Image covers 240 mm x 240 mm | Brain
FLAIR magnetic resonance.
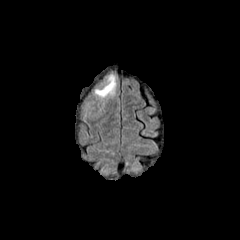
T1-weighted magnetic resonance.
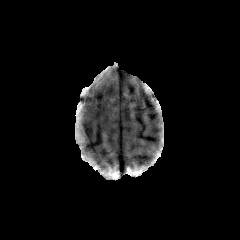
Post-contrast T1-weighted MRI.
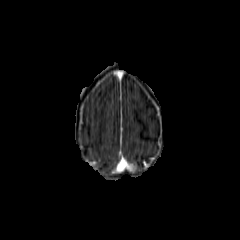
T2-weighted MR.
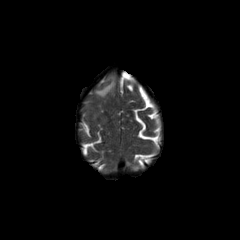
peritumoral edema: bounding box [95,74,115,97]